240x240 px | Slice 119 of 155 | Axial view | Head
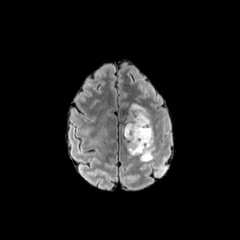
FLAIR MR.
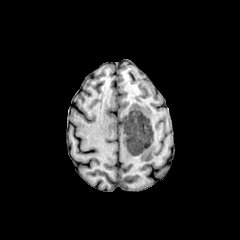
T1-weighted magnetic resonance.
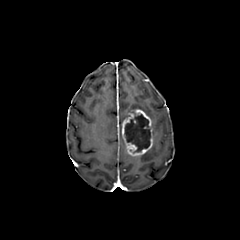
Post-contrast T1-weighted MR.
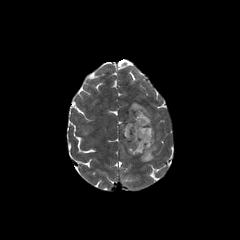
T2-weighted MRI.
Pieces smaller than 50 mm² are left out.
peritumoral edema: <box>129,103,151,119</box>, <box>139,139,155,161</box> | enhancing tumor: <box>121,109,153,156</box> | necrotic tumor core: <box>124,114,150,151</box>